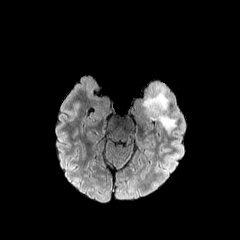
FLAIR magnetic resonance.
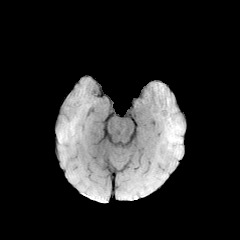
T1-weighted magnetic resonance of the same slice.
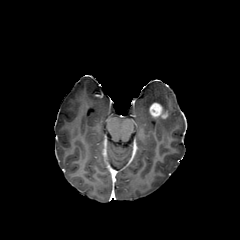
Post-contrast T1-weighted MR image.
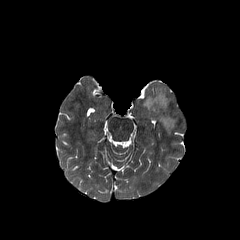
Same slice, T2-weighted magnetic resonance.
Head
peritumoral_edema:
  - (143,86,175,133)
enhancing_tumor:
  - (149,102,167,118)